FLAIR magnetic resonance.
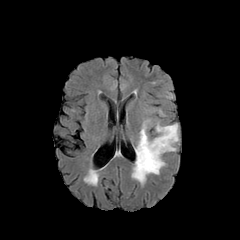
T1-weighted MR.
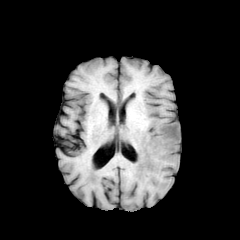
Post-contrast T1-weighted MRI.
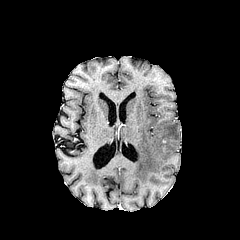
T2-weighted MR image.
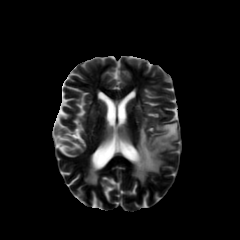
Brain.
peritumoral edema: bounding box [x1=132, y1=122, x2=178, y2=183]